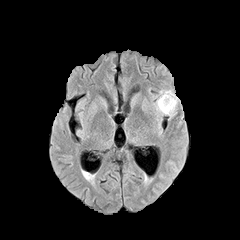
FLAIR magnetic resonance.
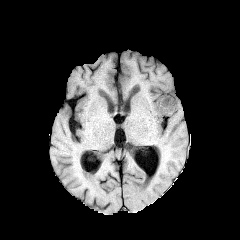
Same slice, T1-weighted magnetic resonance.
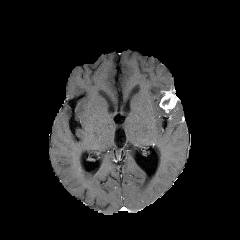
Same slice, post-contrast T1-weighted MR image.
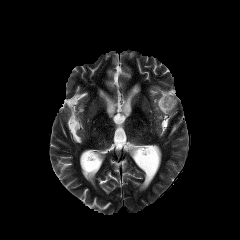
Same slice, T2-weighted MR.
240x240
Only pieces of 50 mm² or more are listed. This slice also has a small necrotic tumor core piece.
- enhancing tumor: <bbox>159, 89, 179, 112</bbox>
- peritumoral edema: <bbox>156, 93, 175, 115</bbox>